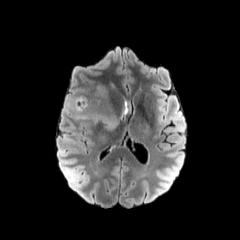
FLAIR MR.
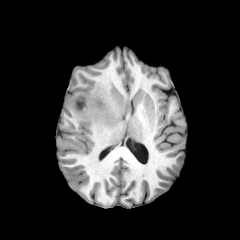
T1-weighted magnetic resonance of the same slice.
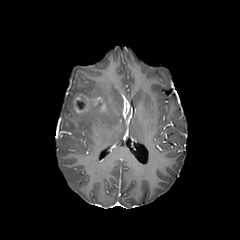
Same slice, post-contrast T1-weighted MR image.
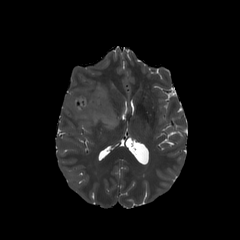
T2-weighted magnetic resonance.
Axial plane
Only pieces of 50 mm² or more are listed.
The peritumoral edema is located at (78,85,118,129). The largest necrotic tumor core region is located at (77,101,86,109). 2 enhancing tumor regions are located at (123,96,129,116), (73,94,105,113).